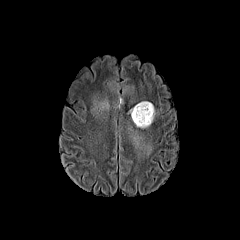
FLAIR MR.
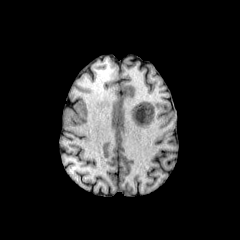
T1-weighted MR of the same slice.
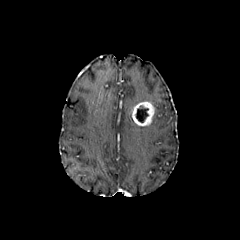
Post-contrast T1-weighted MR image.
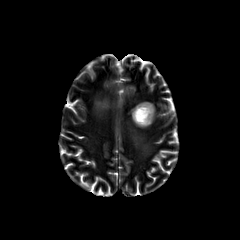
T2-weighted MR of the same slice.
Axial plane
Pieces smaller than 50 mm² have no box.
enhancing tumor — <bbox>132, 101, 154, 126</bbox>
peritumoral edema — <bbox>99, 101, 108, 108</bbox>
necrotic tumor core — <bbox>136, 106, 148, 122</bbox>